FLAIR MR image.
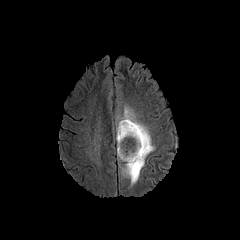
T1-weighted magnetic resonance.
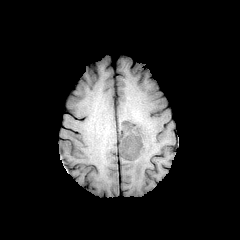
Post-contrast T1-weighted MR image.
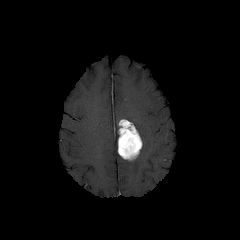
T2-weighted MR image.
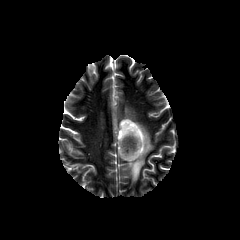
240x240
enhancing tumor = region(117, 119, 142, 160)
peritumoral edema = region(116, 106, 154, 185)